FLAIR MRI.
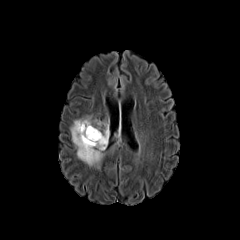
T1-weighted MRI.
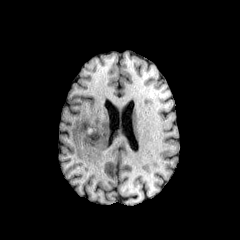
Post-contrast T1-weighted MR.
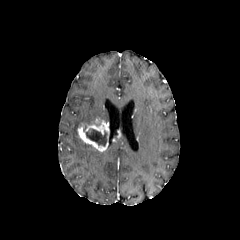
T2-weighted MR image.
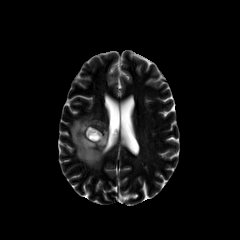
Head | Axial slice
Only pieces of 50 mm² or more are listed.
The largest peritumoral edema region is at 70 116 104 167. The largest necrotic tumor core region is at 86 128 107 146. The largest enhancing tumor region is located at 77 118 109 151.